FLAIR MR image.
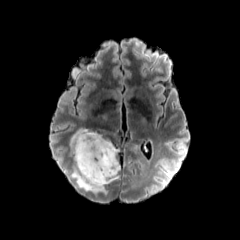
T1-weighted magnetic resonance.
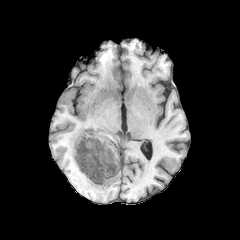
Post-contrast T1-weighted MR image.
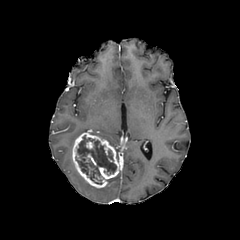
T2-weighted MRI.
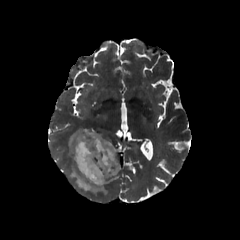
Axial plane. Brain.
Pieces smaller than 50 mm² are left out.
peritumoral edema — (71, 166, 107, 194), (69, 128, 87, 156)
necrotic tumor core — (75, 135, 116, 184)
enhancing tumor — (84, 154, 96, 165), (86, 141, 93, 148), (72, 130, 120, 188)